Image size 240x240. Brain.
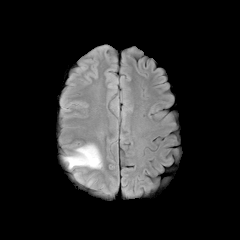
FLAIR MRI.
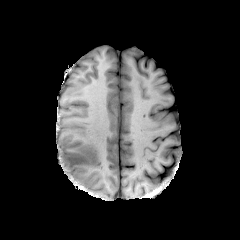
T1-weighted MR.
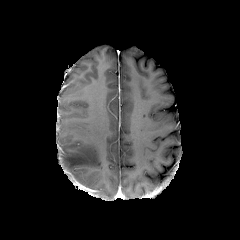
Post-contrast T1-weighted MR image.
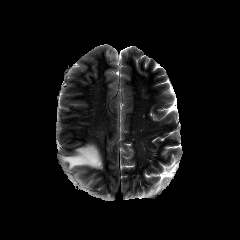
Same slice, T2-weighted magnetic resonance.
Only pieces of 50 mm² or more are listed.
The 2 largest peritumoral edema regions are bounded by region(74, 172, 82, 182); region(63, 144, 102, 169).